FLAIR magnetic resonance.
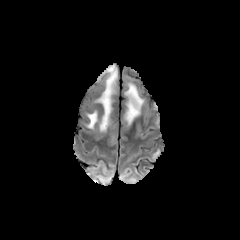
T1-weighted MR.
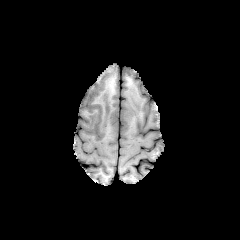
Post-contrast T1-weighted MR image.
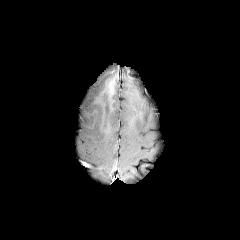
T2-weighted MRI.
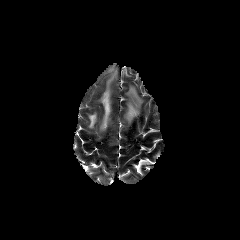
Findings:
* peritumoral edema: [123,84,143,123], [83,108,98,128], [93,65,116,133]